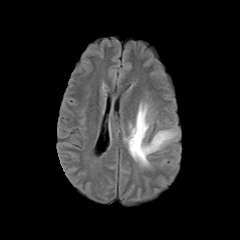
FLAIR MR image.
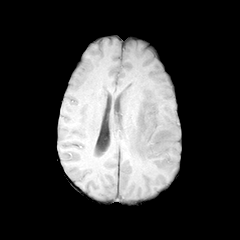
T1-weighted magnetic resonance of the same slice.
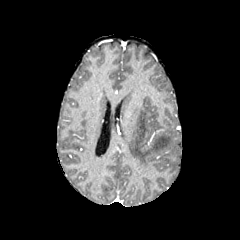
Post-contrast T1-weighted MR image of the same slice.
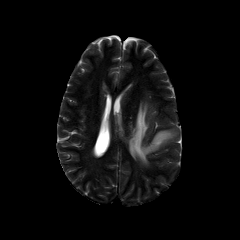
T2-weighted MR image of the same slice.
240x240
<segmentation>
  <peritumoral_edema>124:101:178:167</peritumoral_edema>
</segmentation>